FLAIR magnetic resonance.
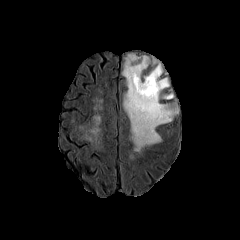
T1-weighted MR image.
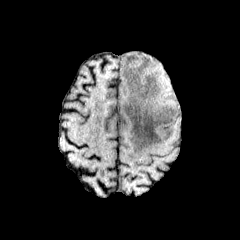
Post-contrast T1-weighted magnetic resonance.
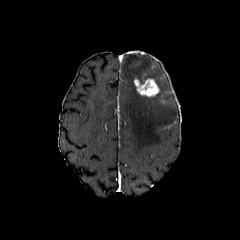
T2-weighted MR image.
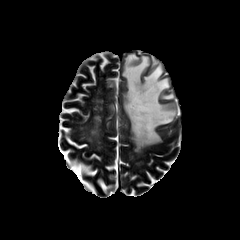
Axial slice | Brain | Image size 240x240
enhancing tumor — [133,78,159,97]
peritumoral edema — [122,54,178,152]